Slice 87/155. Brain. Image size 240x240. Axial slice.
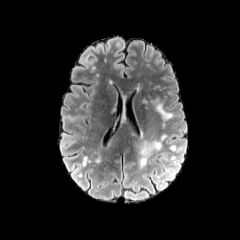
FLAIR MRI.
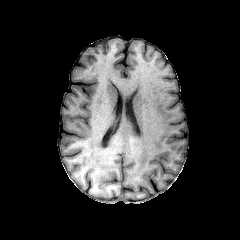
T1-weighted magnetic resonance.
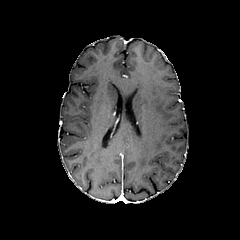
Same slice, post-contrast T1-weighted MRI.
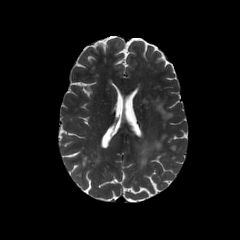
T2-weighted MRI.
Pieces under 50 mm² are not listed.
peritumoral edema: bounding box box=[139, 141, 161, 168]